Axial plane
FLAIR MRI.
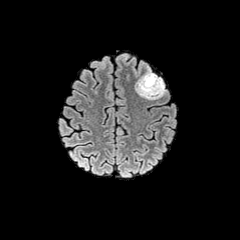
T1-weighted MR.
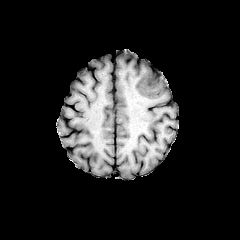
Post-contrast T1-weighted MR.
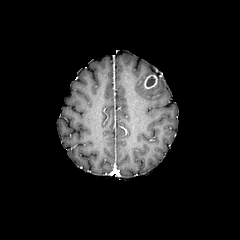
T2-weighted MR.
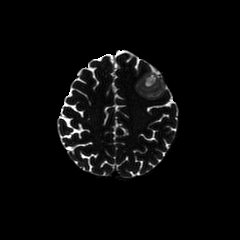
The necrotic tumor core is bounded by (x1=146, y1=76, x2=155, y2=86). The enhancing tumor is bounded by (x1=143, y1=74, x2=157, y2=89). The peritumoral edema is located at (x1=136, y1=68, x2=165, y2=99).